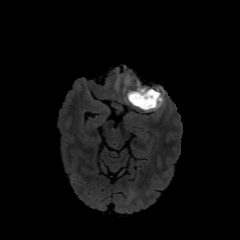
FLAIR MR image.
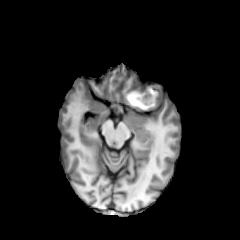
T1-weighted magnetic resonance.
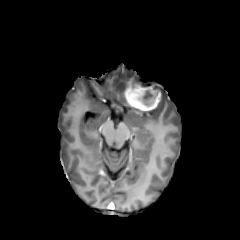
Post-contrast T1-weighted MRI.
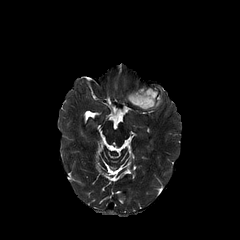
Same slice, T2-weighted MRI.
Brain, 240x240 px, Axial view
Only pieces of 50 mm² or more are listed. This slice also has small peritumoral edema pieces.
The enhancing tumor appears at left=125, top=82, right=161, bottom=110. The necrotic tumor core is bounded by left=130, top=89, right=158, bottom=107.